Image width 240 mm, 1.00 mm slice spacing
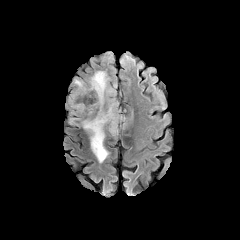
FLAIR MRI.
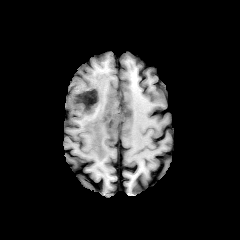
T1-weighted MR.
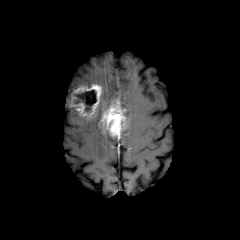
Post-contrast T1-weighted MR image.
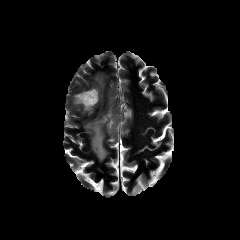
T2-weighted MRI of the same slice.
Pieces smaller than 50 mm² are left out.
peritumoral edema — 83, 114, 108, 162; 91, 71, 106, 103
enhancing tumor — 99, 99, 128, 138; 70, 84, 102, 117
necrotic tumor core — 74, 90, 96, 111